Head | Slice 55/155 | Image width 240 mm, 1.00 mm slice spacing
FLAIR magnetic resonance.
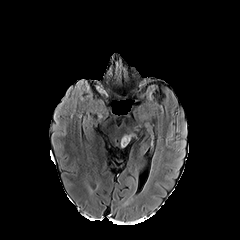
T1-weighted magnetic resonance.
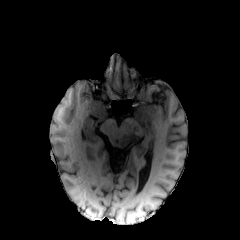
Post-contrast T1-weighted MRI.
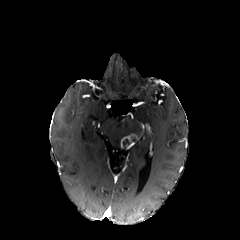
T2-weighted MR image.
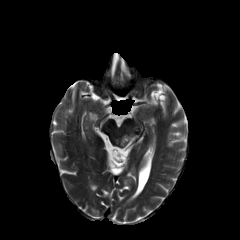
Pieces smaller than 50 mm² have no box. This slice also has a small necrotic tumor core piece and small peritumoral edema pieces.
enhancing tumor: bounding box rect(120, 133, 137, 148)